Slice 33 of 155; Brain; Axial slice
FLAIR magnetic resonance.
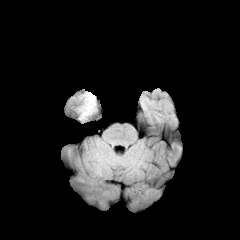
T1-weighted MR.
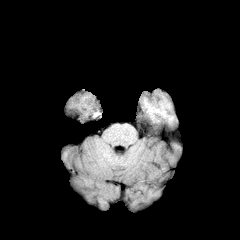
Post-contrast T1-weighted magnetic resonance.
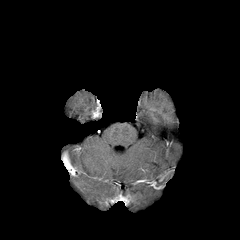
T2-weighted magnetic resonance.
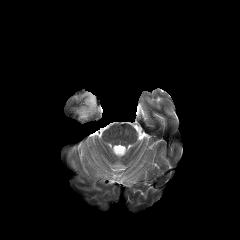
peritumoral edema at (x1=79, y1=92, x2=96, y2=119)